FLAIR magnetic resonance.
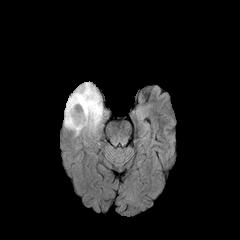
T1-weighted magnetic resonance.
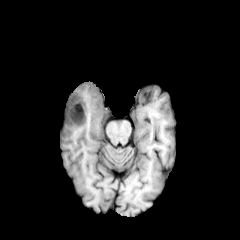
Post-contrast T1-weighted MR.
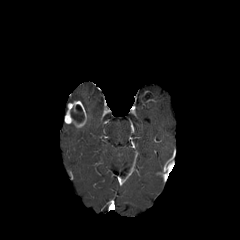
T2-weighted MRI.
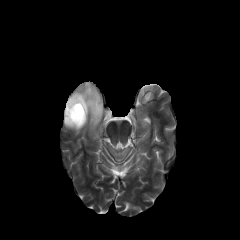
Axial plane
necrotic tumor core = box(71, 105, 84, 122)
peritumoral edema = box(64, 82, 104, 135)
enhancing tumor = box(64, 100, 87, 128)